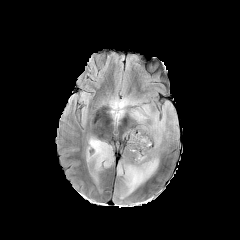
FLAIR MR image.
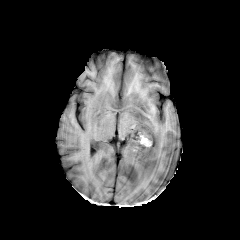
T1-weighted MRI.
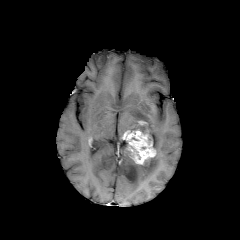
Same slice, post-contrast T1-weighted MR image.
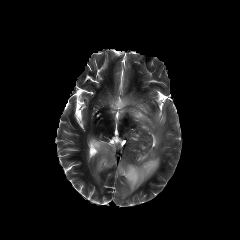
Same slice, T2-weighted MRI.
Head
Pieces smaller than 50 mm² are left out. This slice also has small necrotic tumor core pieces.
enhancing tumor: (left=123, top=130, right=156, bottom=164) | peritumoral edema: (left=109, top=97, right=166, bottom=196), (left=87, top=136, right=113, bottom=171)